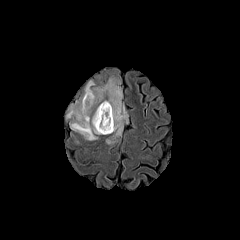
FLAIR MR image.
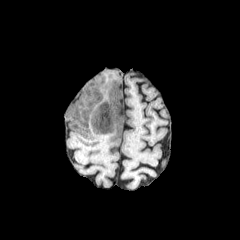
T1-weighted MR of the same slice.
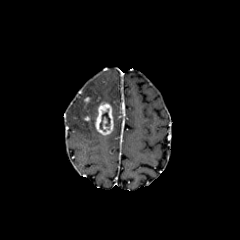
Post-contrast T1-weighted MR image.
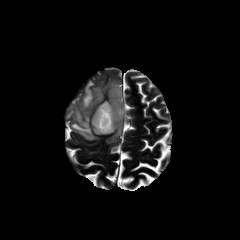
T2-weighted MRI.
Image size 240x240 | Axial slice
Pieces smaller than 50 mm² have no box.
{"necrotic_tumor_core": ["[100,112,110,129]"], "peritumoral_edema": ["[67,78,126,144]"], "enhancing_tumor": ["[94,102,113,135]"]}